Axial slice. Image width 240 mm, 1.00 mm slice spacing. Slice 109/155.
FLAIR MR image.
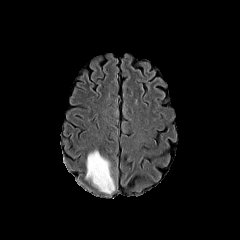
T1-weighted MRI.
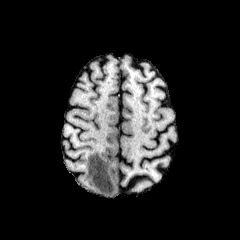
Post-contrast T1-weighted MR image.
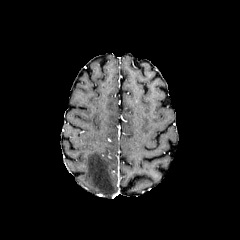
T2-weighted MR.
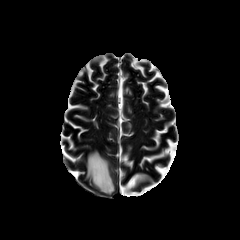
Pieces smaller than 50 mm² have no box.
The largest peritumoral edema region is located at [85, 150, 115, 194].